FLAIR magnetic resonance.
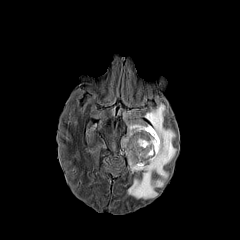
T1-weighted MR image.
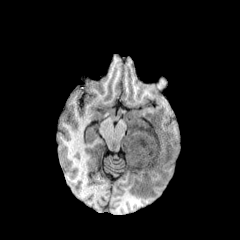
Post-contrast T1-weighted MR.
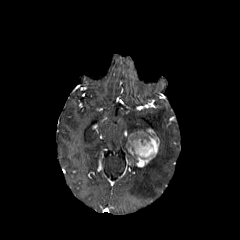
T2-weighted magnetic resonance.
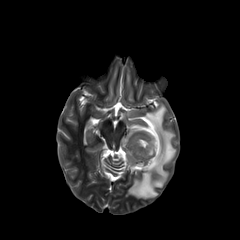
240x240
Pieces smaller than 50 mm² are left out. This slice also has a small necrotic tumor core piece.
{
  "enhancing_tumor": [
    "126,128,159,167"
  ],
  "peritumoral_edema": [
    "121,103,176,199"
  ]
}